FLAIR MR image.
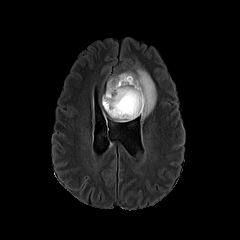
T1-weighted MRI.
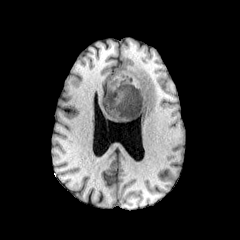
Post-contrast T1-weighted MR image.
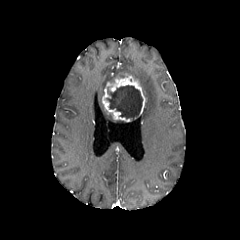
T2-weighted magnetic resonance.
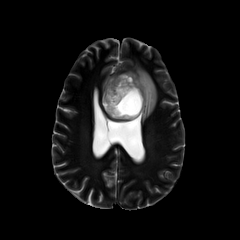
Brain.
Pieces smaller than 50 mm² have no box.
{
  "enhancing_tumor": [
    "102:74:146:122"
  ],
  "peritumoral_edema": [
    "108:65:156:119"
  ],
  "necrotic_tumor_core": [
    "106:85:142:120"
  ]
}